Head; 240x240
FLAIR MRI.
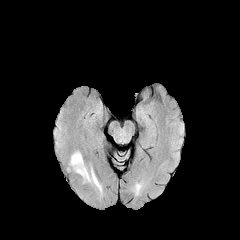
T1-weighted magnetic resonance.
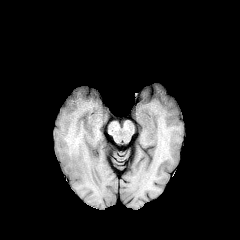
Post-contrast T1-weighted MR.
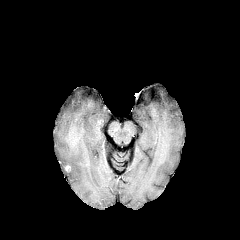
T2-weighted MR image.
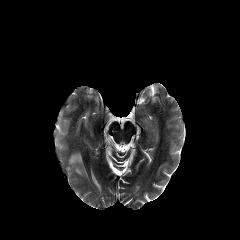
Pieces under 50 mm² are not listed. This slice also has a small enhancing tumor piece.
The peritumoral edema appears at x1=69 y1=151 x2=101 y2=191.